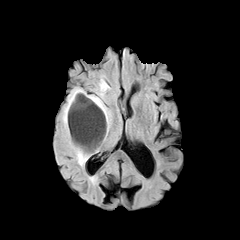
FLAIR MRI.
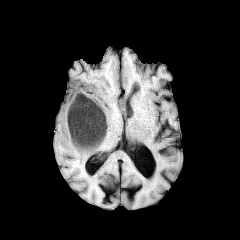
Same slice, T1-weighted MR image.
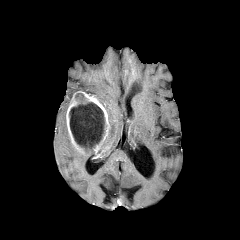
Post-contrast T1-weighted magnetic resonance of the same slice.
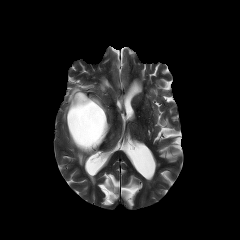
T2-weighted MRI.
240x240 px, Axial view
necrotic tumor core — x1=69, y1=93, x2=104, y2=150
enhancing tumor — x1=66, y1=91, x2=109, y2=152
peritumoral edema — x1=89, y1=80, x2=111, y2=128; x1=62, y1=87, x2=93, y2=165